FLAIR MRI.
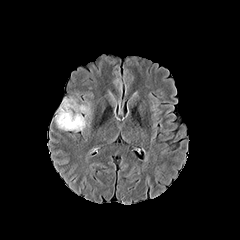
T1-weighted magnetic resonance.
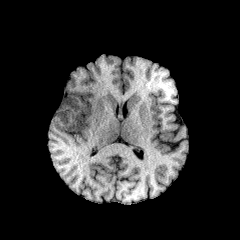
Post-contrast T1-weighted magnetic resonance.
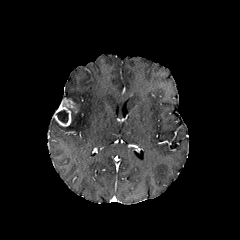
T2-weighted MRI.
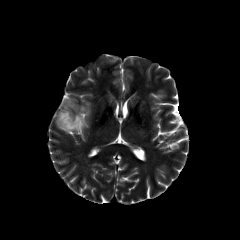
Head
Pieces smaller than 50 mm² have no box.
enhancing tumor = 54 98 78 126
necrotic tumor core = 57 110 68 122
peritumoral edema = 56 104 90 131